FLAIR MRI.
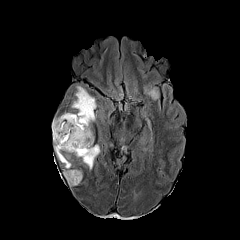
T1-weighted MR image.
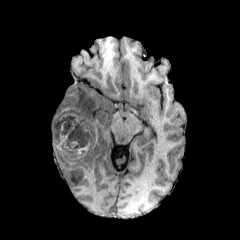
Post-contrast T1-weighted magnetic resonance.
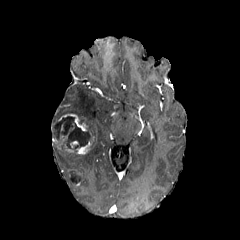
T2-weighted MR.
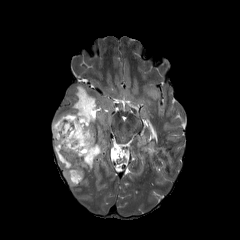
Brain, Image size 240x240, Axial view
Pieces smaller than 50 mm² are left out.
<segmentation>
  <necrotic_tumor_core>rect(53, 116, 93, 150)</necrotic_tumor_core>
  <peritumoral_edema>rect(76, 144, 100, 169); rect(71, 86, 96, 131); rect(145, 86, 159, 100); rect(54, 142, 82, 186)</peritumoral_edema>
  <enhancing_tumor>rect(64, 141, 91, 154); rect(58, 113, 86, 131)</enhancing_tumor>
</segmentation>